Head. Axial view.
FLAIR magnetic resonance.
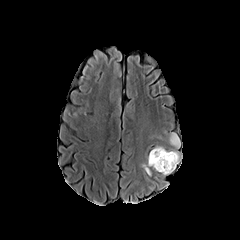
T1-weighted magnetic resonance.
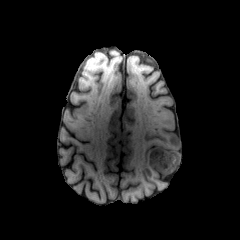
Post-contrast T1-weighted magnetic resonance.
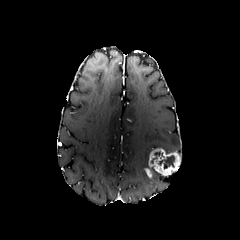
T2-weighted MR.
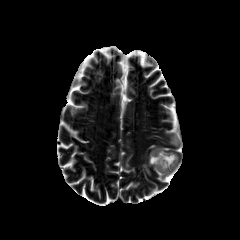
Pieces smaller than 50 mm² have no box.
enhancing_tumor:
  - rect(148, 148, 180, 175)
necrotic_tumor_core:
  - rect(151, 151, 163, 163)
  - rect(158, 155, 174, 168)
peritumoral_edema:
  - rect(170, 132, 180, 148)